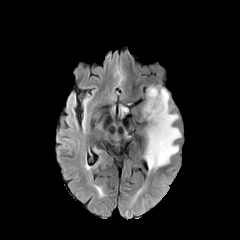
FLAIR MRI.
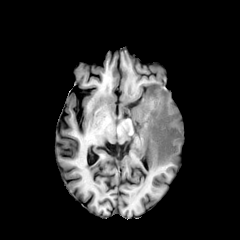
T1-weighted MR image.
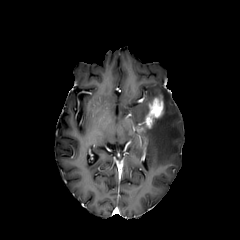
Post-contrast T1-weighted MR image.
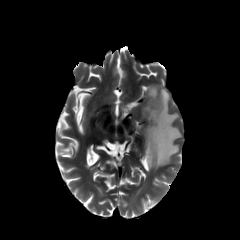
T2-weighted MR.
Axial plane; Brain
{
  "enhancing_tumor": [
    "(x1=145, y1=97, x2=163, y2=128)"
  ],
  "peritumoral_edema": [
    "(x1=142, y1=86, x2=180, y2=171)"
  ]
}